FLAIR MRI.
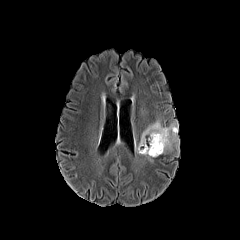
T1-weighted MR image.
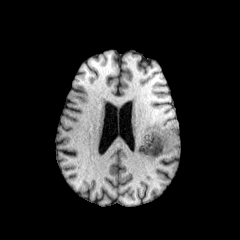
Post-contrast T1-weighted MRI.
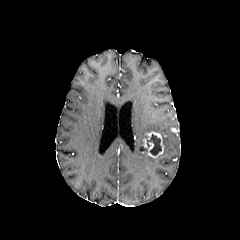
T2-weighted MRI.
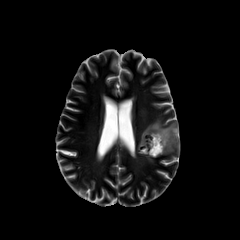
Axial plane; Head
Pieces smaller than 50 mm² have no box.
necrotic tumor core = x1=147 y1=134 x2=161 y2=155
enhancing tumor = x1=138 y1=131 x2=164 y2=157
peritumoral edema = x1=139 y1=120 x2=179 y2=152